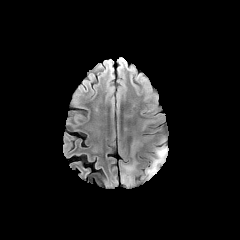
FLAIR MRI.
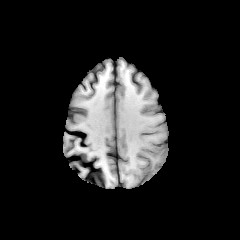
T1-weighted MRI of the same slice.
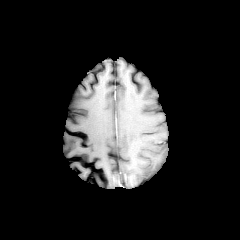
Post-contrast T1-weighted MRI of the same slice.
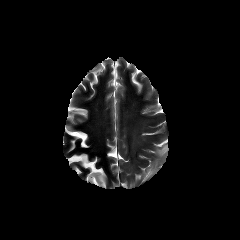
T2-weighted MRI.
240x240
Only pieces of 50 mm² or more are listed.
peritumoral_edema:
  - x1=145 y1=145 x2=168 y2=178